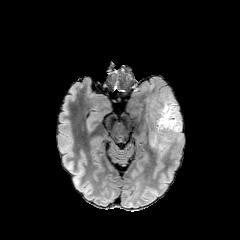
FLAIR MRI.
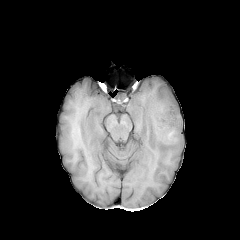
Same slice, T1-weighted MRI.
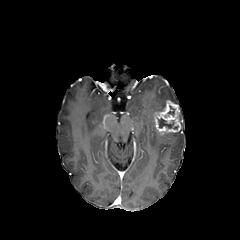
Post-contrast T1-weighted MR image of the same slice.
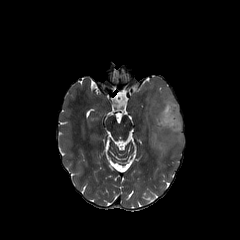
T2-weighted magnetic resonance of the same slice.
Head. 240x240. Axial view.
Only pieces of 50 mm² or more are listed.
The largest peritumoral edema region appears at (148, 91, 183, 157). The enhancing tumor is at (154, 100, 182, 134). The largest necrotic tumor core region appears at (158, 118, 173, 128).